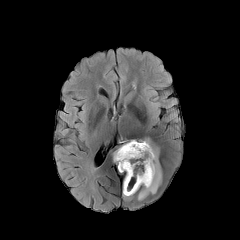
FLAIR magnetic resonance.
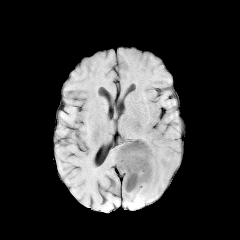
T1-weighted MRI.
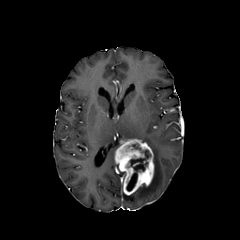
Post-contrast T1-weighted MR image of the same slice.
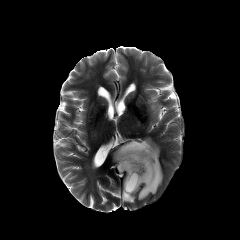
T2-weighted MR image.
Head, 240x240 px, Axial view
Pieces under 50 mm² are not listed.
* enhancing tumor: rect(115, 139, 154, 195)
* necrotic tumor core: rect(126, 150, 150, 191)
* peritumoral edema: rect(137, 138, 162, 200); rect(123, 192, 134, 200)